FLAIR MR image.
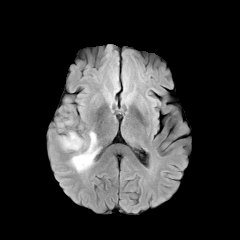
T1-weighted magnetic resonance.
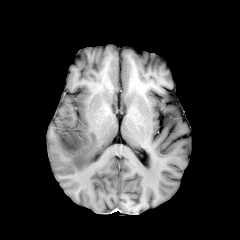
Post-contrast T1-weighted MR.
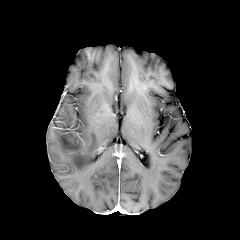
T2-weighted magnetic resonance.
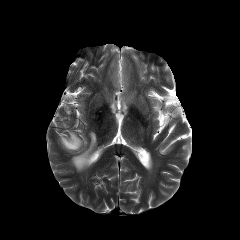
240x240 px.
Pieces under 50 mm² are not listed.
peritumoral edema — l=59, t=131, r=99, b=172